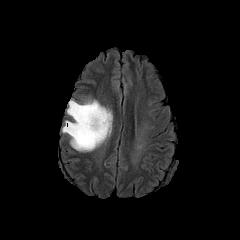
FLAIR magnetic resonance.
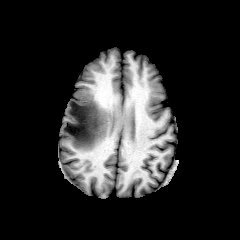
T1-weighted MR.
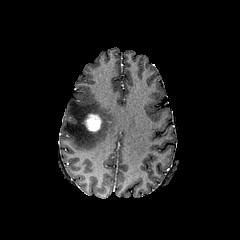
Post-contrast T1-weighted MR.
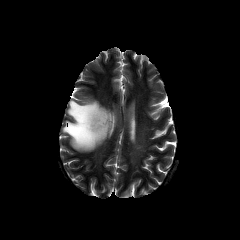
Same slice, T2-weighted MR.
Brain
Segmented structures:
- peritumoral edema: bbox=[62, 100, 112, 151]
- enhancing tumor: bbox=[83, 113, 102, 132]